FLAIR magnetic resonance.
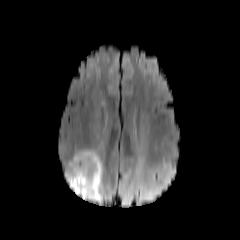
T1-weighted MR.
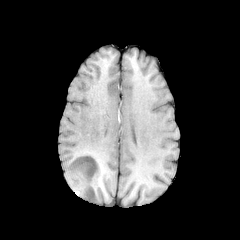
Post-contrast T1-weighted MR.
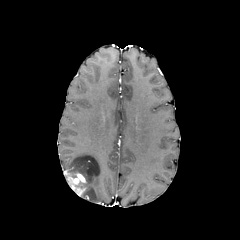
T2-weighted MR image.
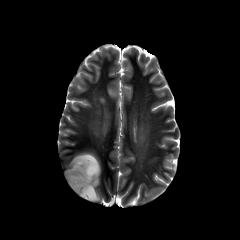
240x240 px; Axial view
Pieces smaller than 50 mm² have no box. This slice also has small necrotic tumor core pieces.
The enhancing tumor lies within (left=64, top=168, right=86, bottom=197). The peritumoral edema is at (left=67, top=151, right=102, bottom=201).